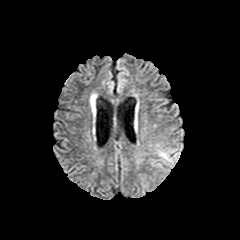
FLAIR MR image.
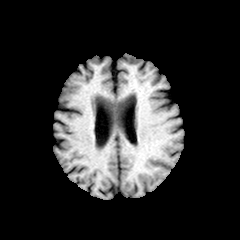
T1-weighted magnetic resonance.
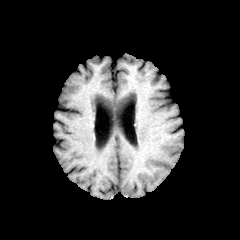
Post-contrast T1-weighted MRI.
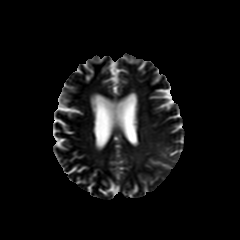
T2-weighted MR image.
Axial plane, 240x240 px
The peritumoral edema is located at 158:149:176:163.